Image width 240 mm. Axial plane. Brain.
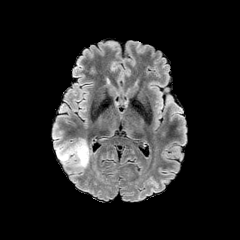
FLAIR magnetic resonance.
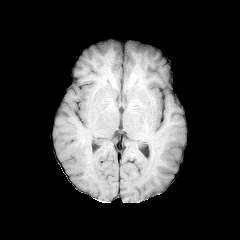
T1-weighted MR image.
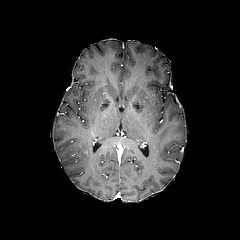
Post-contrast T1-weighted MR.
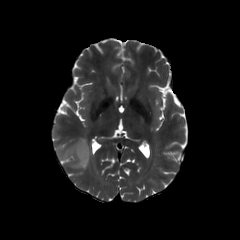
Same slice, T2-weighted MR.
<segmentation>
  <peritumoral_edema>l=57, t=139, r=90, b=170</peritumoral_edema>
</segmentation>